Slice 100/155, Brain
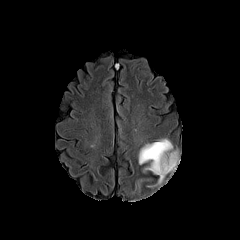
FLAIR MR.
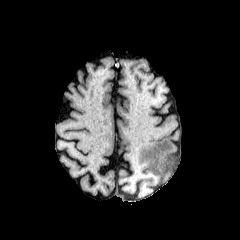
T1-weighted MR of the same slice.
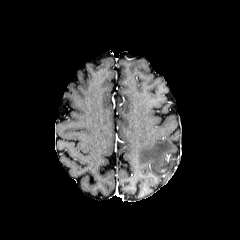
Same slice, post-contrast T1-weighted MR image.
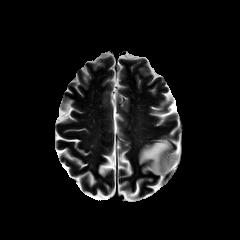
T2-weighted magnetic resonance of the same slice.
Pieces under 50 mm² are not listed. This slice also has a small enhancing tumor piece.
Segmented structures:
- peritumoral edema: [138, 138, 179, 184]